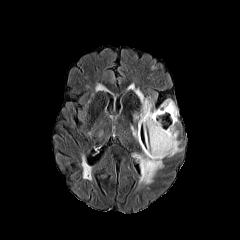
FLAIR MR.
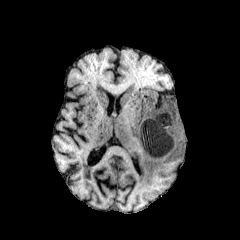
T1-weighted MRI of the same slice.
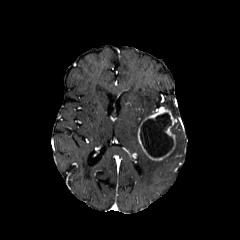
Post-contrast T1-weighted MR of the same slice.
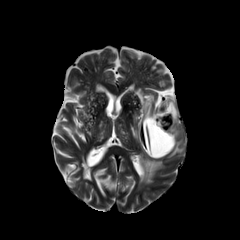
T2-weighted MR of the same slice.
Axial view
Annotated regions:
* enhancing tumor: x1=137, y1=106, x2=177, y2=160
* peritumoral edema: x1=137, y1=153, x2=163, y2=183; x1=161, y1=99, x2=178, y2=119; x1=134, y1=89, x2=155, y2=127; x1=131, y1=126, x2=137, y2=139; x1=168, y1=125, x2=182, y2=156
* necrotic tumor core: x1=140, y1=113, x2=173, y2=157